FLAIR MRI.
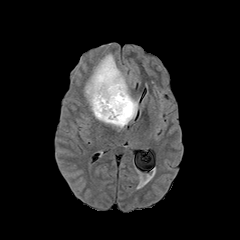
T1-weighted magnetic resonance.
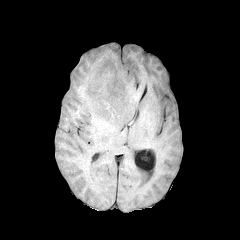
Post-contrast T1-weighted MR image.
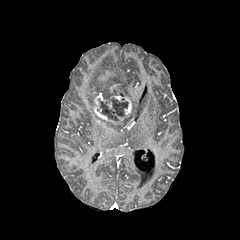
T2-weighted MR.
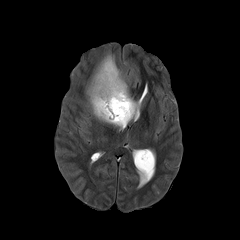
Axial slice | Head
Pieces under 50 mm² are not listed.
The largest necrotic tumor core region appears at 98,98,127,120. 2 enhancing tumor regions are located at 94,83,132,122; 98,71,114,80. The peritumoral edema is at 85,54,138,128.